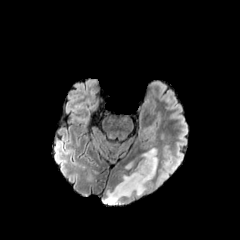
FLAIR MR.
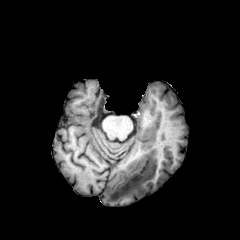
T1-weighted MR image.
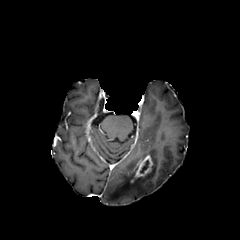
Same slice, post-contrast T1-weighted MR image.
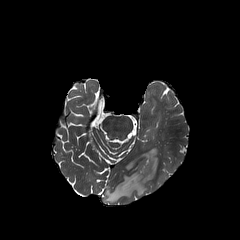
Same slice, T2-weighted MRI.
240x240.
The enhancing tumor is bounded by 131,155,153,181. The peritumoral edema lies within 101,147,158,205. The necrotic tumor core is located at 140,160,148,172.